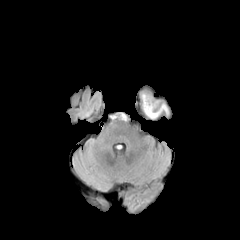
FLAIR magnetic resonance.
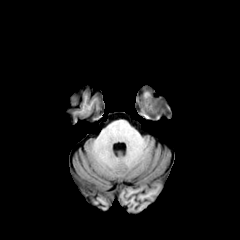
T1-weighted magnetic resonance.
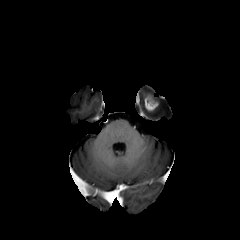
Post-contrast T1-weighted MR of the same slice.
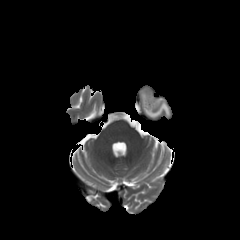
T2-weighted MR of the same slice.
Axial view
peritumoral edema — {"x1": 142, "y1": 94, "x2": 168, "y2": 118}
enhancing tumor — {"x1": 144, "y1": 94, "x2": 158, "y2": 111}